Axial plane | Slice index 67
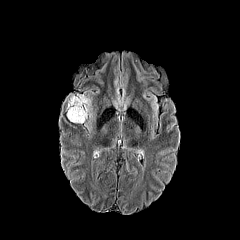
FLAIR MRI.
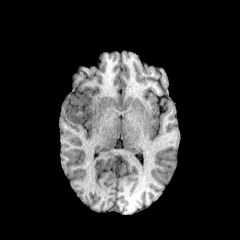
T1-weighted MR image.
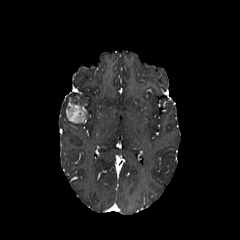
Same slice, post-contrast T1-weighted MRI.
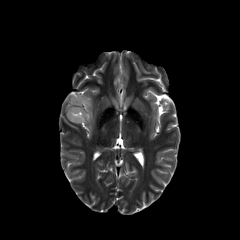
Same slice, T2-weighted MR.
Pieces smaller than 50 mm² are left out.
The largest peritumoral edema region appears at x1=71 y1=96 x2=91 y2=110. The enhancing tumor appears at x1=66 y1=102 x2=87 y2=123.